FLAIR MR image.
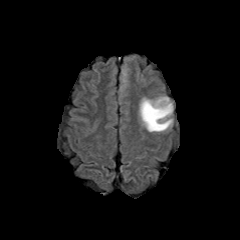
T1-weighted magnetic resonance.
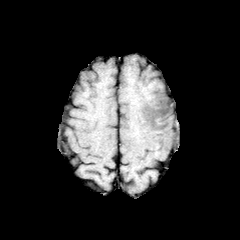
Post-contrast T1-weighted MRI.
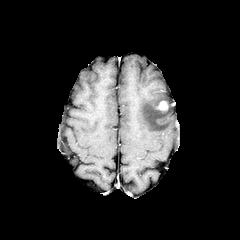
T2-weighted magnetic resonance.
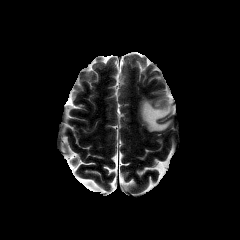
Axial view. Brain.
peritumoral edema: x1=139 y1=96 x2=173 y2=131 | enhancing tumor: x1=157 y1=101 x2=168 y2=110